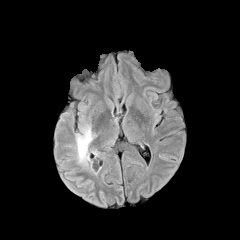
FLAIR MR.
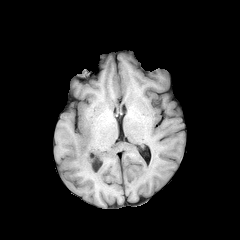
Same slice, T1-weighted MR image.
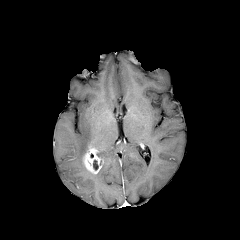
Post-contrast T1-weighted MR.
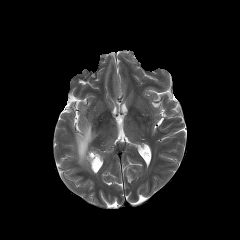
T2-weighted MR.
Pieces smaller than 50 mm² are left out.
peritumoral edema = 74,123,96,167
enhancing tumor = 83,147,101,174
necrotic tumor core = 93,160,99,170